FLAIR MRI.
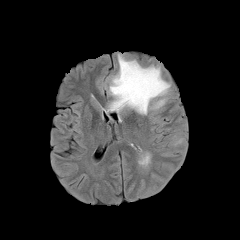
T1-weighted MR image.
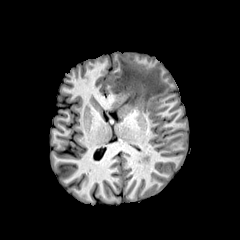
Post-contrast T1-weighted MR image.
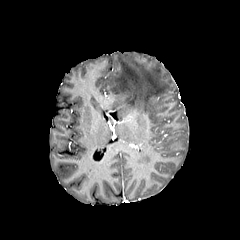
T2-weighted MR image.
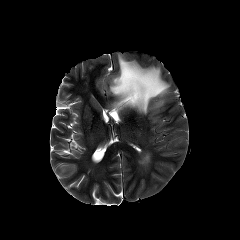
Axial plane | Image size 240x240
<segmentation>
  <peritumoral_edema>rect(172, 138, 186, 146); rect(105, 54, 170, 114)</peritumoral_edema>
</segmentation>